Axial slice. Brain.
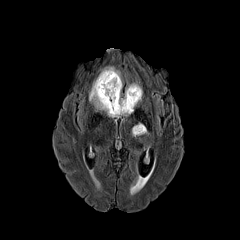
FLAIR MR image.
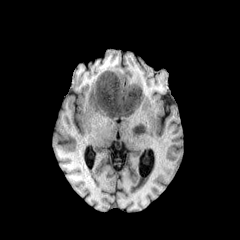
T1-weighted magnetic resonance.
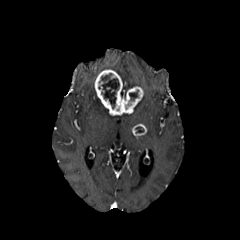
Same slice, post-contrast T1-weighted MRI.
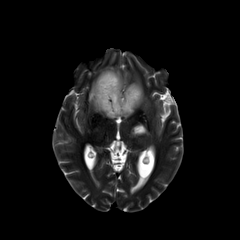
T2-weighted magnetic resonance.
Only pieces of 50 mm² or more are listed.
{"necrotic_tumor_core": ["region(129, 90, 138, 100)", "region(101, 73, 119, 108)"], "enhancing_tumor": ["region(132, 123, 146, 136)", "region(94, 69, 143, 115)"], "peritumoral_edema": ["region(124, 81, 140, 96)", "region(100, 66, 121, 78)", "region(89, 81, 129, 118)"]}